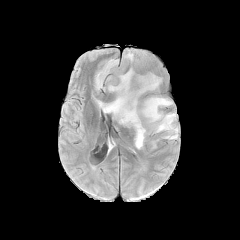
FLAIR magnetic resonance.
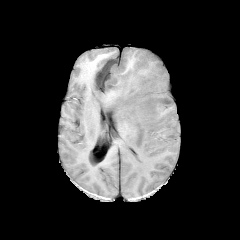
T1-weighted MRI of the same slice.
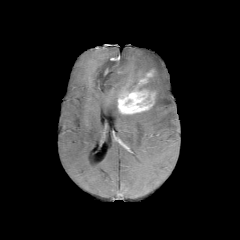
Post-contrast T1-weighted magnetic resonance.
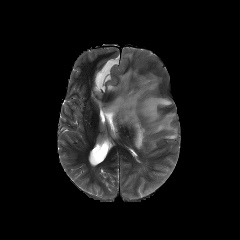
T2-weighted MRI.
Head. Axial view. Image size 240x240.
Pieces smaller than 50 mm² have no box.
<segmentation>
  <enhancing_tumor>region(117, 72, 154, 114)</enhancing_tumor>
  <peritumoral_edema>region(150, 139, 158, 148); region(94, 47, 178, 149)</peritumoral_edema>
</segmentation>